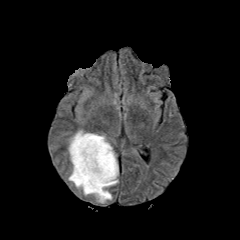
FLAIR MR.
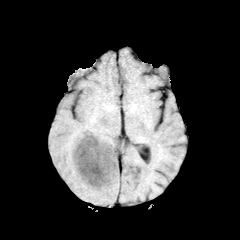
T1-weighted MR of the same slice.
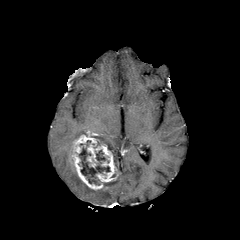
Post-contrast T1-weighted MRI.
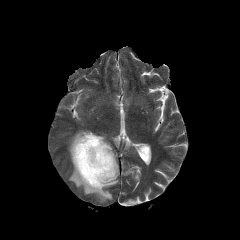
T2-weighted MR.
Axial plane | Head
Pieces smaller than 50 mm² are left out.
peritumoral edema at bbox=[68, 130, 87, 163]; bbox=[68, 164, 112, 202]; bbox=[105, 177, 118, 187]; bbox=[96, 135, 118, 175]
necrotic tumor core at bbox=[96, 150, 105, 163]; bbox=[79, 147, 109, 184]
enhancing tumor at bbox=[71, 132, 117, 190]